Brain
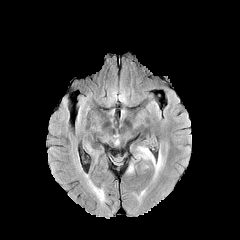
FLAIR magnetic resonance.
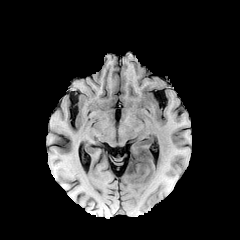
T1-weighted MRI.
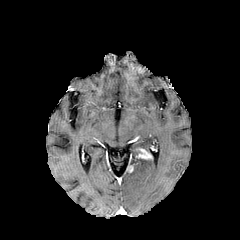
Post-contrast T1-weighted MR image.
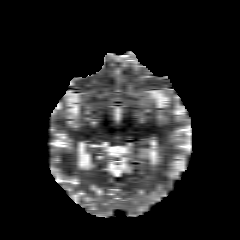
T2-weighted MR.
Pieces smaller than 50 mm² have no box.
Findings:
- enhancing tumor: <bbox>135, 148, 152, 159</bbox>
- peritumoral edema: <bbox>146, 152, 163, 176</bbox>